Image covers 240 mm x 240 mm
FLAIR magnetic resonance.
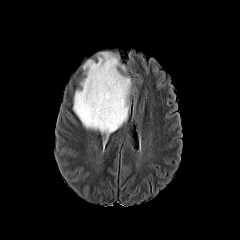
T1-weighted MR.
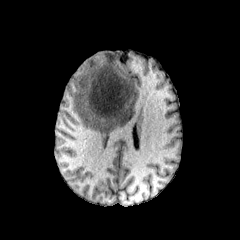
Post-contrast T1-weighted MR.
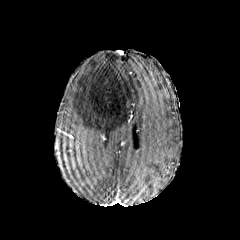
T2-weighted MR image.
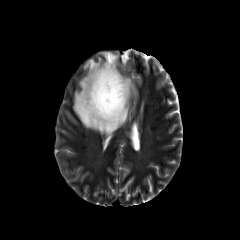
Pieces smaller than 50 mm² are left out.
peritumoral edema — <box>73,52,131,136</box>